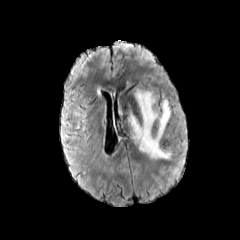
FLAIR MR image.
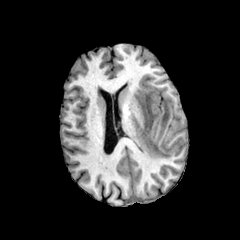
Same slice, T1-weighted magnetic resonance.
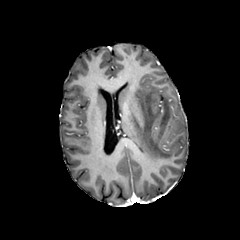
Post-contrast T1-weighted MR of the same slice.
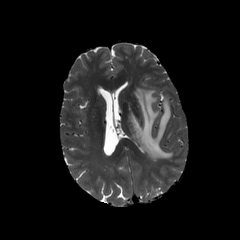
T2-weighted MR image of the same slice.
Axial slice. Head. 240x240 px.
peritumoral edema = (x1=128, y1=88, x2=171, y2=159)